Slice index 77, Head
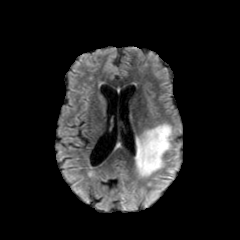
FLAIR MR image.
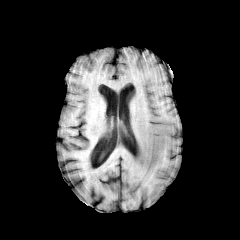
T1-weighted MR of the same slice.
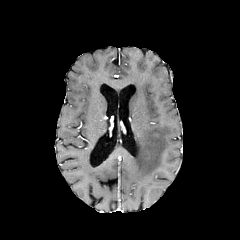
Same slice, post-contrast T1-weighted MR.
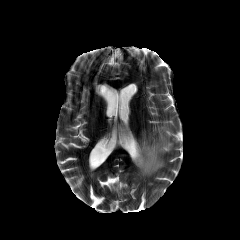
T2-weighted MR.
peritumoral edema: (left=135, top=123, right=172, bottom=176)